FLAIR MRI.
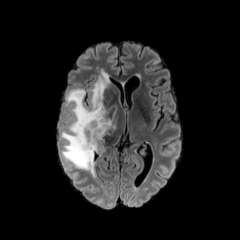
T1-weighted MR image.
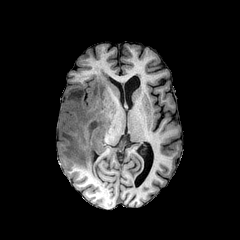
Post-contrast T1-weighted MRI.
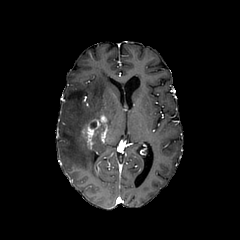
T2-weighted MR.
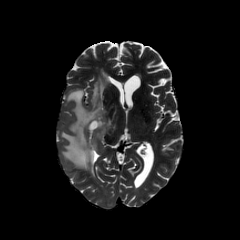
Brain; 240x240 px
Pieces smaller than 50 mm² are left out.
The largest necrotic tumor core region lies within {"x1": 92, "y1": 125, "x2": 104, "y2": 140}. The peritumoral edema appears at {"x1": 61, "y1": 73, "x2": 117, "y2": 175}. The enhancing tumor is at {"x1": 80, "y1": 113, "x2": 107, "y2": 148}.